FLAIR MRI.
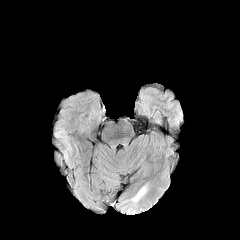
T1-weighted magnetic resonance.
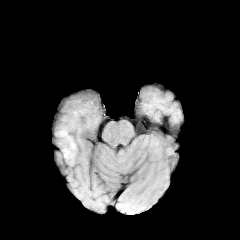
Post-contrast T1-weighted magnetic resonance.
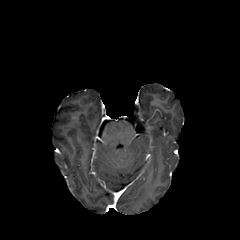
T2-weighted MR image.
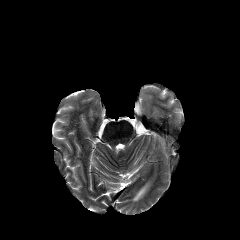
Axial slice
• peritumoral edema: {"x1": 133, "y1": 187, "x2": 145, "y2": 200}